Image width 240 mm | 240x240 px | Brain
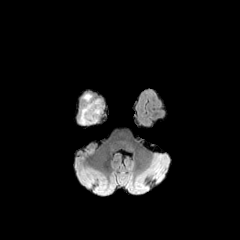
FLAIR MRI.
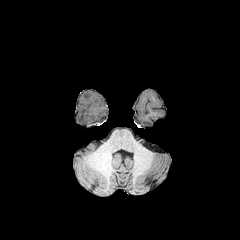
T1-weighted MRI.
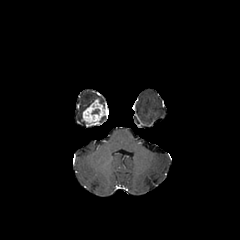
Same slice, post-contrast T1-weighted MR.
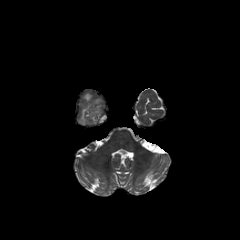
Same slice, T2-weighted MR.
necrotic tumor core: (87, 105, 101, 116) | enhancing tumor: (82, 99, 103, 126) | peritumoral edema: (78, 93, 106, 125)